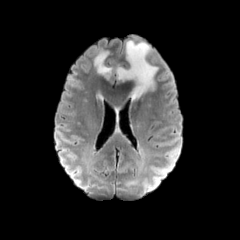
FLAIR MR.
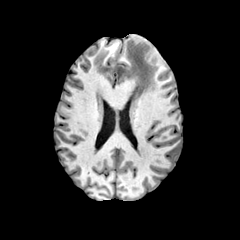
Same slice, T1-weighted MR image.
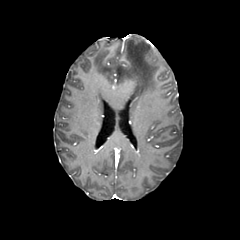
Post-contrast T1-weighted MR image of the same slice.
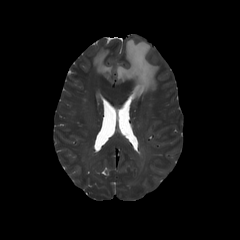
Same slice, T2-weighted magnetic resonance.
Axial slice. Head. 240x240 px.
peritumoral edema = region(116, 40, 157, 99); region(94, 51, 112, 77)